Image width 240 mm, 1.00 mm slice spacing
FLAIR MR.
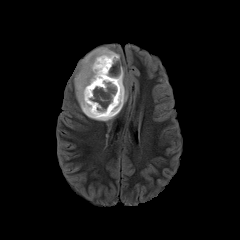
T1-weighted magnetic resonance.
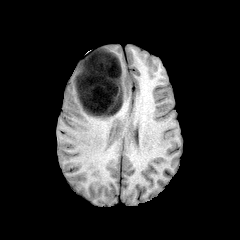
Post-contrast T1-weighted MRI.
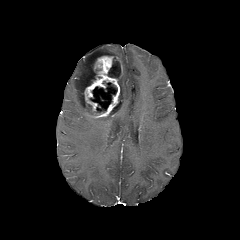
T2-weighted MR.
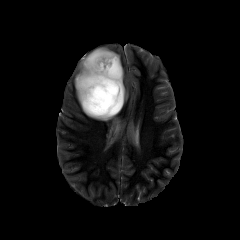
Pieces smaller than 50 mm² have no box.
Findings:
* necrotic tumor core: bbox=[109, 95, 120, 115]; bbox=[90, 82, 117, 112]; bbox=[108, 57, 120, 78]
* peritumoral edema: bbox=[74, 46, 128, 121]
* enhancing tumor: bbox=[84, 56, 119, 118]